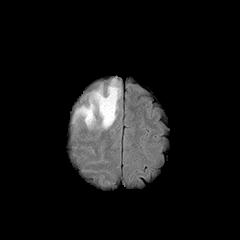
FLAIR MRI.
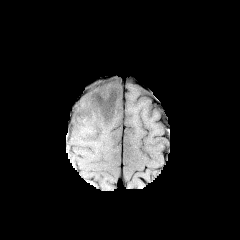
T1-weighted MRI.
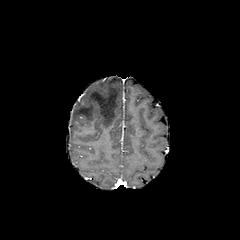
Same slice, post-contrast T1-weighted MR.
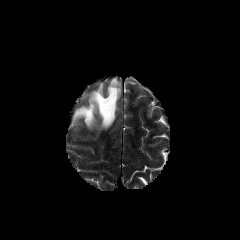
T2-weighted magnetic resonance.
Axial plane | Brain
peritumoral edema: bbox=[73, 78, 121, 129]